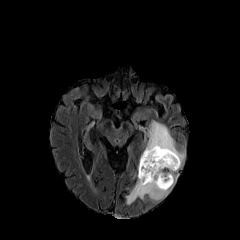
FLAIR MRI.
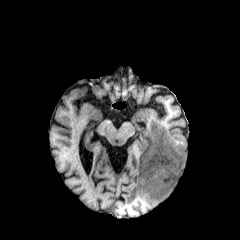
T1-weighted MR image.
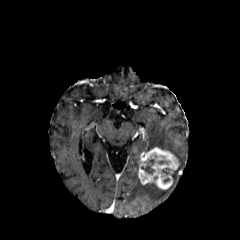
Post-contrast T1-weighted MR.
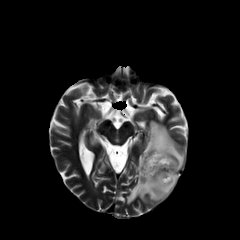
T2-weighted magnetic resonance of the same slice.
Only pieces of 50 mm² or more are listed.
Findings:
• peritumoral edema: x1=126, y1=120, x2=185, y2=204
• enhancing tumor: x1=138, y1=147, x2=179, y2=189
• necrotic tumor core: x1=141, y1=159, x2=154, y2=174